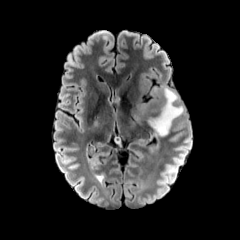
FLAIR MR.
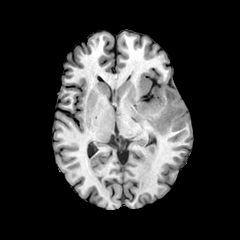
T1-weighted MR.
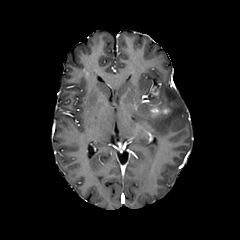
Post-contrast T1-weighted MR image.
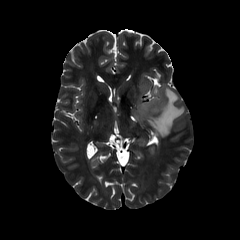
T2-weighted MR image.
Brain; Image size 240x240
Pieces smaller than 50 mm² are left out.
peritumoral edema: bbox(138, 85, 184, 136)
enhancing tumor: bbox(150, 104, 169, 114)